Slice 73 of 155.
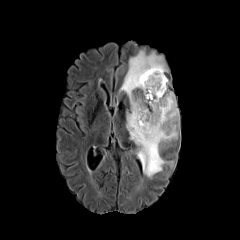
FLAIR MR image.
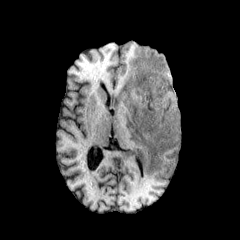
T1-weighted magnetic resonance of the same slice.
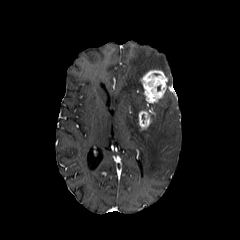
Post-contrast T1-weighted magnetic resonance.
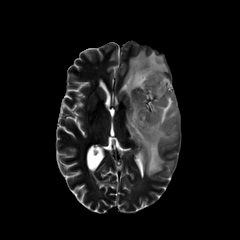
T2-weighted MR image.
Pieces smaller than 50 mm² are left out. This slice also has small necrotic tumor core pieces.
peritumoral_edema:
  - (left=120, top=50, right=178, bottom=177)
enhancing_tumor:
  - (left=138, top=109, right=152, bottom=130)
  - (left=140, top=69, right=167, bottom=103)